FLAIR MR image.
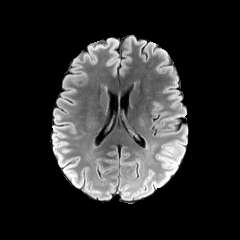
T1-weighted MRI.
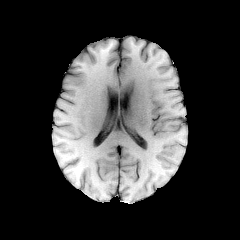
Post-contrast T1-weighted MR.
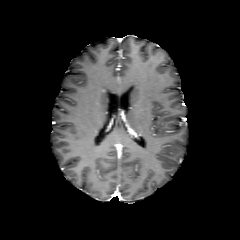
T2-weighted MR image.
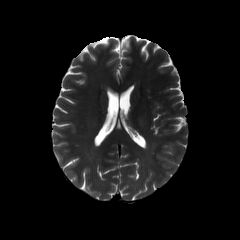
Axial slice
Annotated regions:
• peritumoral edema: 157,143,185,181